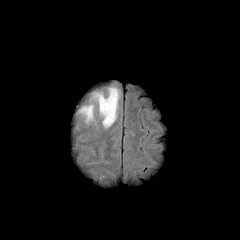
FLAIR MRI.
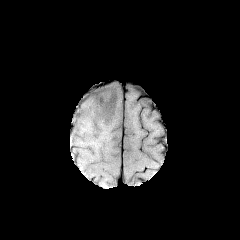
Same slice, T1-weighted magnetic resonance.
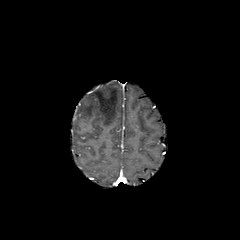
Post-contrast T1-weighted MRI of the same slice.
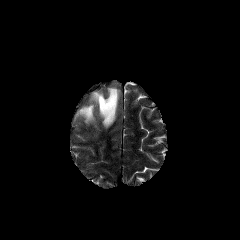
T2-weighted MRI.
Brain | Axial plane
2 peritumoral edema regions appear at x1=79, y1=103, x2=94, y2=123; x1=90, y1=87, x2=119, y2=127.